240x240; Slice 109/155; Head
FLAIR MR image.
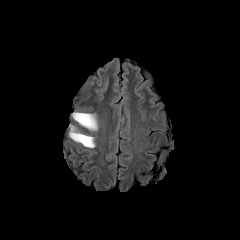
T1-weighted MRI.
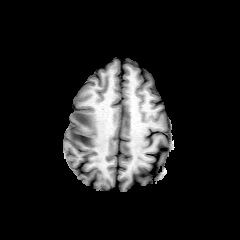
Post-contrast T1-weighted MRI.
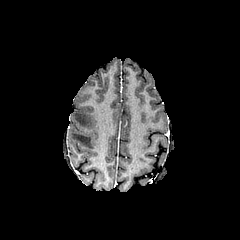
T2-weighted MR image.
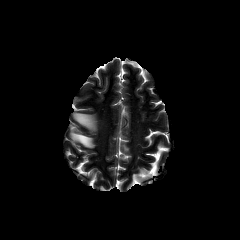
peritumoral edema: [73,113,97,130], [70,127,94,147]